FLAIR MRI.
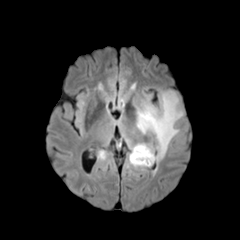
T1-weighted MR image.
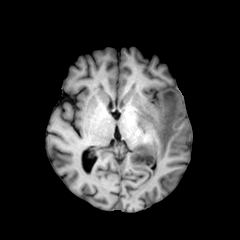
Post-contrast T1-weighted magnetic resonance.
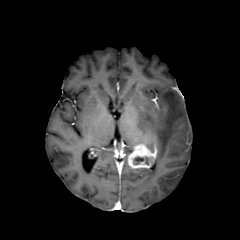
T2-weighted MR image.
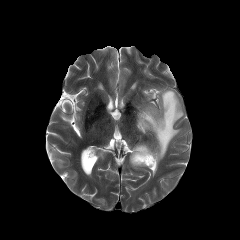
Axial view | Image size 240x240
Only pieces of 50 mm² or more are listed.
enhancing tumor = rect(128, 144, 156, 168)
necrotic tumor core = rect(134, 157, 144, 164)
peritumoral edema = rect(136, 90, 183, 163)